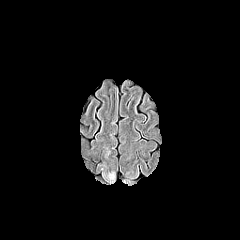
FLAIR MR image.
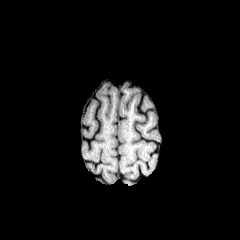
T1-weighted magnetic resonance.
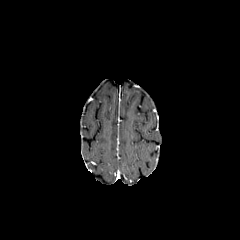
Post-contrast T1-weighted MR.
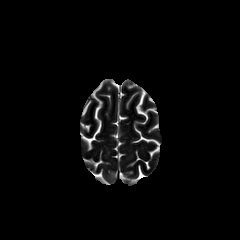
T2-weighted MR image.
Axial slice
peritumoral edema: bbox(108, 172, 114, 180)